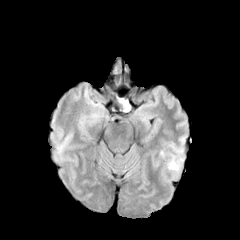
FLAIR MR.
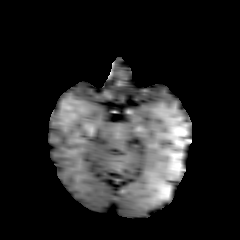
T1-weighted MRI of the same slice.
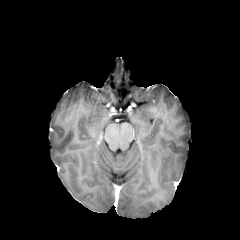
Post-contrast T1-weighted magnetic resonance.
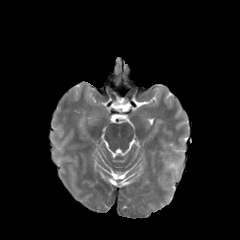
T2-weighted MRI.
Head.
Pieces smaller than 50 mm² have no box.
peritumoral_edema:
  - 168 159 177 169